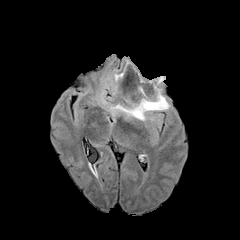
FLAIR MR image.
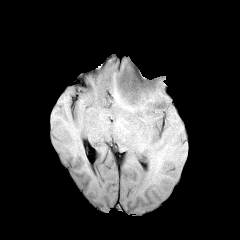
T1-weighted MRI.
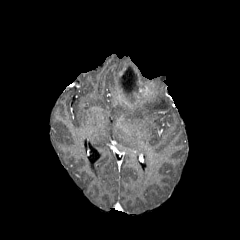
Same slice, post-contrast T1-weighted magnetic resonance.
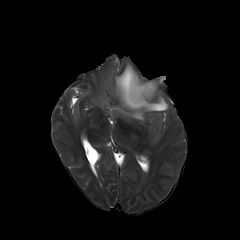
T2-weighted magnetic resonance of the same slice.
Axial view; Head; 240x240 px
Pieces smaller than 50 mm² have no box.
Findings:
• peritumoral edema: 105 69 118 94, 97 77 169 120
• necrotic tumor core: 118 65 138 103
• enhancing tumor: 116 64 155 108